FLAIR magnetic resonance.
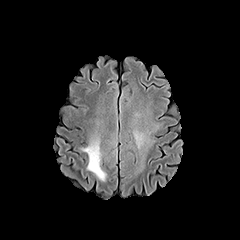
T1-weighted MR image.
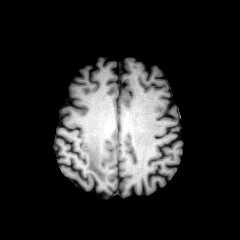
Post-contrast T1-weighted magnetic resonance.
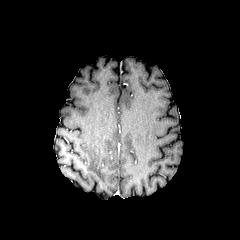
T2-weighted MRI.
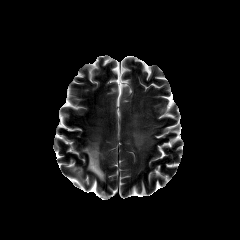
240x240; Axial plane; Head
peritumoral edema at 81:137:106:181